FLAIR magnetic resonance.
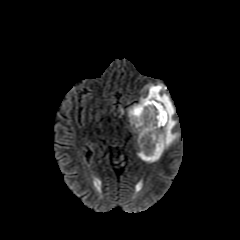
T1-weighted MR.
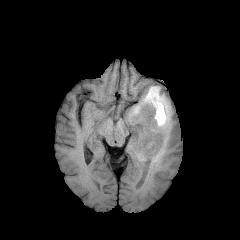
Post-contrast T1-weighted MRI.
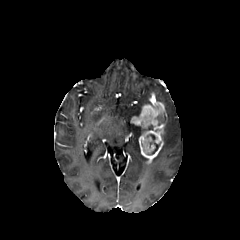
T2-weighted magnetic resonance.
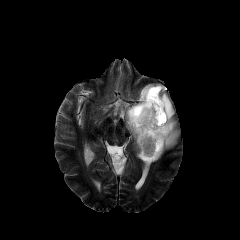
240x240 px
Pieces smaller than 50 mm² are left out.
<segmentation>
  <necrotic_tumor_core>157:113:167:122</necrotic_tumor_core>
  <enhancing_tumor>131:92:166:161</enhancing_tumor>
  <peritumoral_edema>126:83:179:162</peritumoral_edema>
</segmentation>